FLAIR MRI.
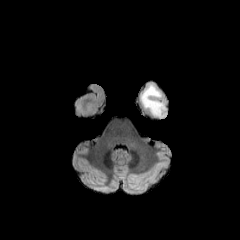
T1-weighted magnetic resonance.
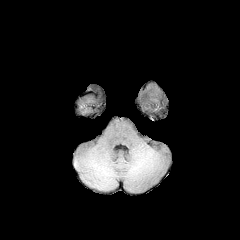
Post-contrast T1-weighted MR.
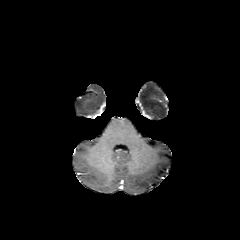
T2-weighted MRI.
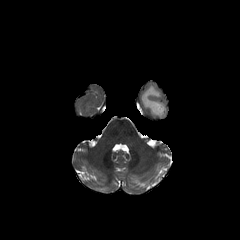
240x240
peritumoral edema: x1=141, y1=84, x2=167, y2=118